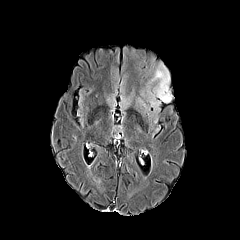
FLAIR MRI.
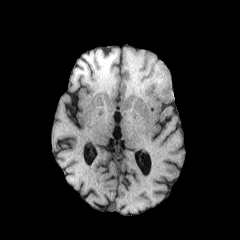
T1-weighted MR.
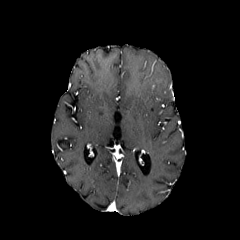
Post-contrast T1-weighted MR.
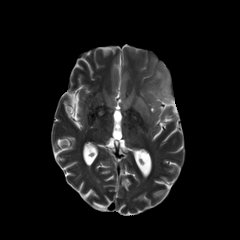
T2-weighted MR of the same slice.
Brain
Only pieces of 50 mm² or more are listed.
<segmentation>
  <peritumoral_edema>x1=149, y1=62, x2=172, y2=110</peritumoral_edema>
</segmentation>